FLAIR MRI.
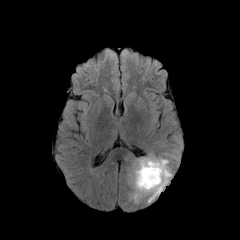
T1-weighted MRI.
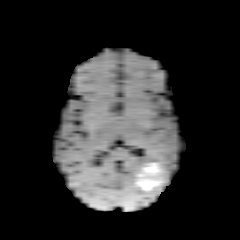
Post-contrast T1-weighted MR.
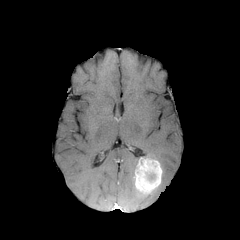
T2-weighted MR image.
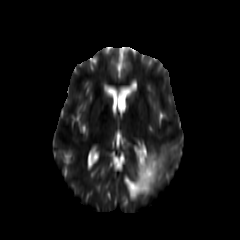
Head, Axial slice
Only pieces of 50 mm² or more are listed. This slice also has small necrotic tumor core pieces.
<segmentation>
  <peritumoral_edema>(x1=127, y1=145, x2=180, y2=202)</peritumoral_edema>
  <enhancing_tumor>(x1=133, y1=157, x2=162, y2=195)</enhancing_tumor>
</segmentation>